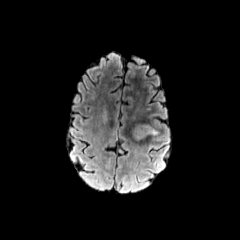
FLAIR MRI.
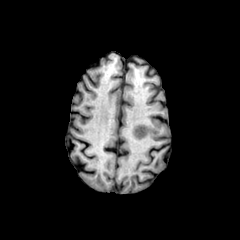
T1-weighted magnetic resonance.
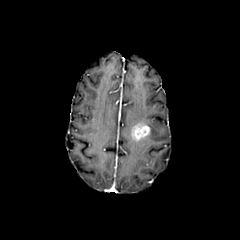
Post-contrast T1-weighted MR.
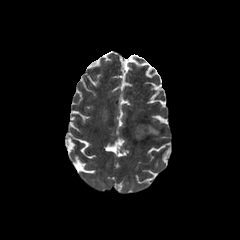
T2-weighted magnetic resonance.
240x240 px
Annotated regions:
- enhancing tumor: bbox=[131, 121, 150, 140]
- peritumoral edema: bbox=[148, 125, 157, 135]